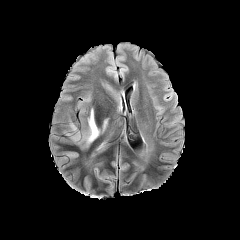
FLAIR MR image.
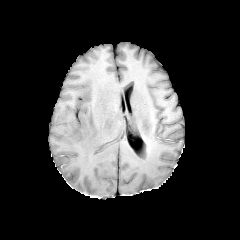
T1-weighted MR of the same slice.
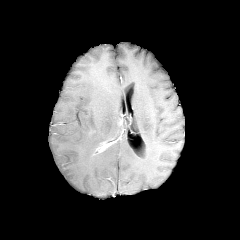
Post-contrast T1-weighted MRI.
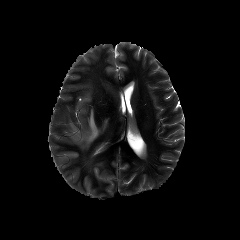
T2-weighted MR.
Axial slice, Brain
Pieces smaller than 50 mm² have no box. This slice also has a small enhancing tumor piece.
The largest peritumoral edema region is bounded by (left=67, top=108, right=100, bottom=147).